Image width 240 mm, 1.00 mm slice spacing, Brain
FLAIR MR image.
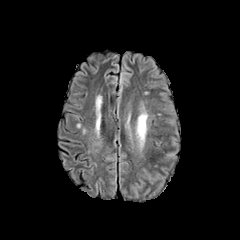
T1-weighted MRI.
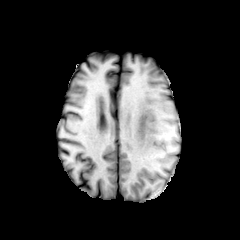
Post-contrast T1-weighted magnetic resonance.
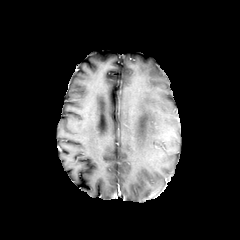
T2-weighted MRI.
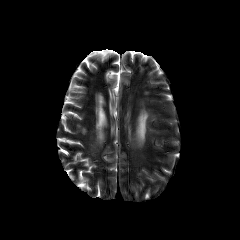
The peritumoral edema is bounded by 136,112,147,144.